FLAIR MR.
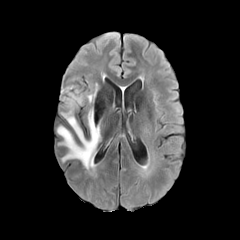
T1-weighted MRI.
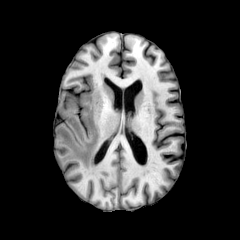
Post-contrast T1-weighted magnetic resonance.
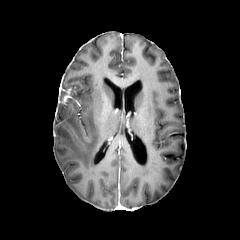
T2-weighted MR.
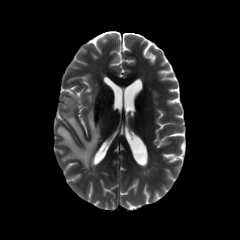
Brain
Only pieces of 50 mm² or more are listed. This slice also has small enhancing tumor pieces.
<segmentation>
  <peritumoral_edema>{"x1": 57, "y1": 93, "x2": 100, "y2": 173}, {"x1": 86, "y1": 92, "x2": 95, "y2": 103}</peritumoral_edema>
</segmentation>